Slice 93 of 155, Axial plane
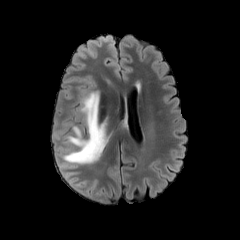
FLAIR MRI.
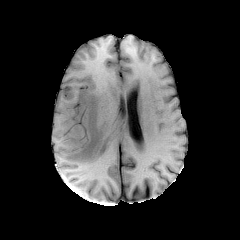
T1-weighted MR of the same slice.
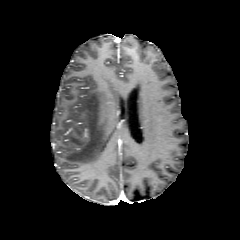
Same slice, post-contrast T1-weighted MR image.
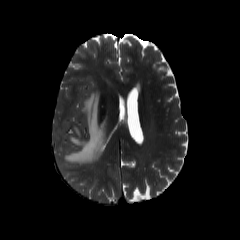
T2-weighted magnetic resonance.
The peritumoral edema is located at (x1=62, y1=90, x2=106, y2=164).